Image width 240 mm; Brain; Slice 115 of 155
FLAIR MR image.
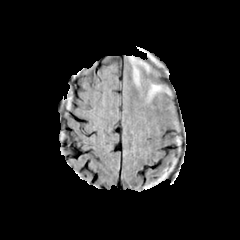
T1-weighted MR image.
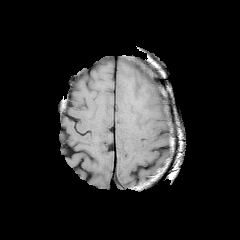
Post-contrast T1-weighted magnetic resonance.
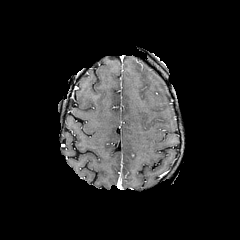
T2-weighted MR.
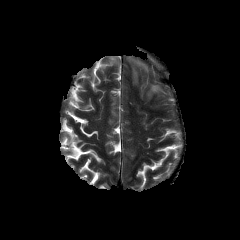
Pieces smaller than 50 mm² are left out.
{
  "peritumoral_edema": [
    "(149, 85, 160, 95)"
  ]
}